FLAIR magnetic resonance.
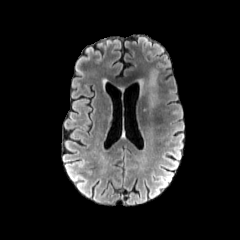
T1-weighted MRI.
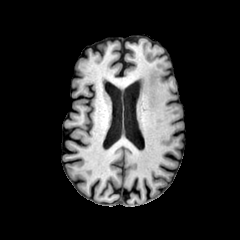
Post-contrast T1-weighted MRI.
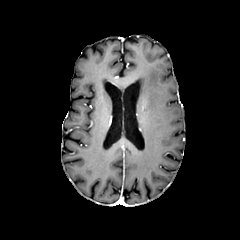
T2-weighted MRI.
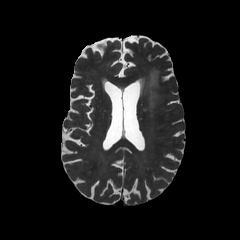
Axial plane | Head
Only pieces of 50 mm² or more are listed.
peritumoral edema — x1=140 y1=69 x2=159 y2=109